Brain
FLAIR MR image.
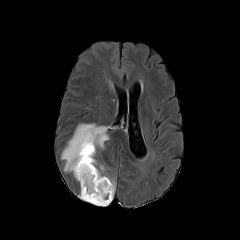
T1-weighted MR image.
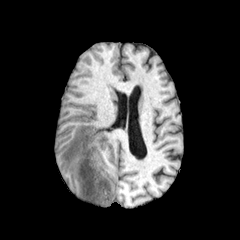
Post-contrast T1-weighted MRI.
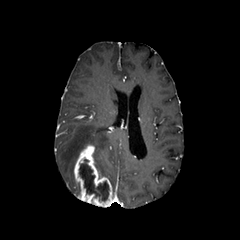
T2-weighted magnetic resonance.
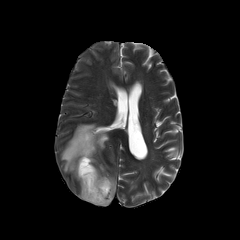
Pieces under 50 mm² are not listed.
necrotic_tumor_core:
  - x1=79 y1=159 x2=109 y2=201
peritumoral_edema:
  - x1=107 y1=177 x2=115 y2=198
  - x1=95 y1=159 x2=106 y2=176
  - x1=61 y1=123 x2=109 y2=174
enhancing_tumor:
  - x1=74 y1=144 x2=112 y2=206